Head. 240x240 px.
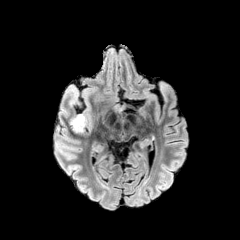
FLAIR MR.
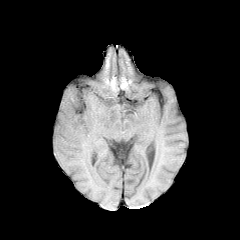
T1-weighted MR of the same slice.
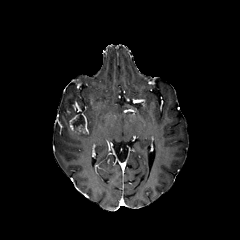
Same slice, post-contrast T1-weighted MR.
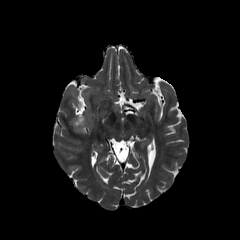
T2-weighted magnetic resonance.
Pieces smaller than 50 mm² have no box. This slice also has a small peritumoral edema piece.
<segmentation>
  <enhancing_tumor>69:113:87:133</enhancing_tumor>
  <necrotic_tumor_core>72:115:84:128</necrotic_tumor_core>
</segmentation>